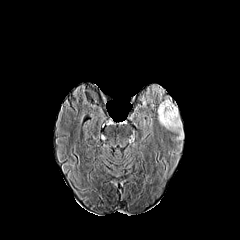
FLAIR magnetic resonance.
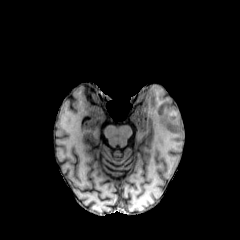
Same slice, T1-weighted MR.
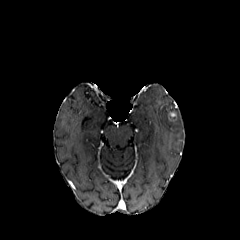
Post-contrast T1-weighted MR image.
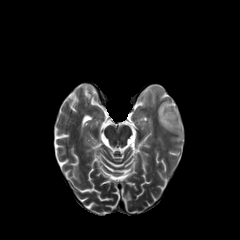
T2-weighted MRI.
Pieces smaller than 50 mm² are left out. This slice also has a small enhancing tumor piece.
{
  "peritumoral_edema": [
    "bbox=[158, 97, 183, 140]"
  ]
}